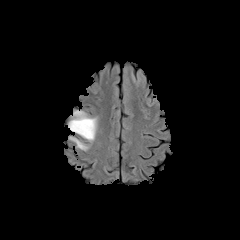
FLAIR MRI.
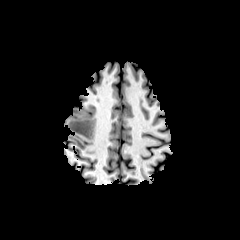
Same slice, T1-weighted MR.
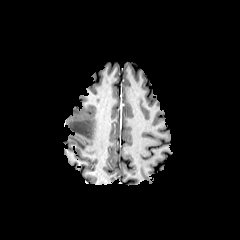
Same slice, post-contrast T1-weighted magnetic resonance.
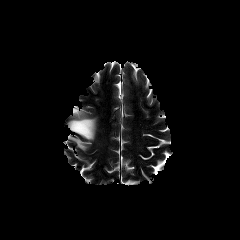
T2-weighted MR image.
Brain | Axial view
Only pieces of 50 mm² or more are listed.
peritumoral edema: x1=69 y1=136 x2=88 y2=150, x1=68 y1=110 x2=97 y2=142